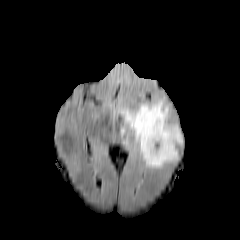
FLAIR MR image.
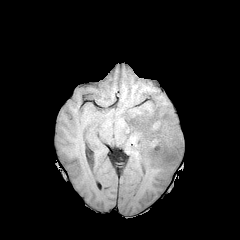
T1-weighted MR of the same slice.
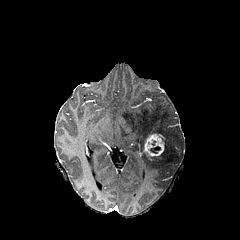
Same slice, post-contrast T1-weighted MR.
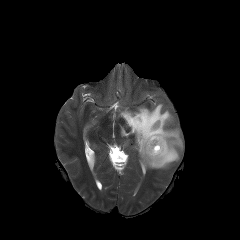
T2-weighted MRI.
Head
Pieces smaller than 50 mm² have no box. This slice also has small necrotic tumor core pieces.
Annotated regions:
- peritumoral edema: [x1=120, y1=100, x2=182, y2=168]
- enhancing tumor: [x1=143, y1=133, x2=164, y2=156]